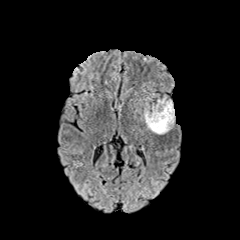
FLAIR MRI.
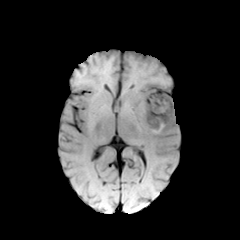
T1-weighted MR image of the same slice.
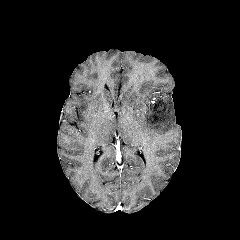
Post-contrast T1-weighted MR image of the same slice.
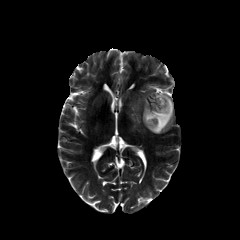
T2-weighted MR image.
Head
Findings:
- necrotic tumor core: [150, 102, 164, 118]
- peritumoral edema: [143, 96, 174, 133]